Axial view.
FLAIR MR.
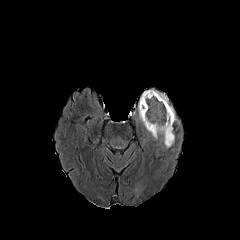
T1-weighted MRI.
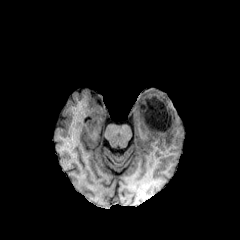
Post-contrast T1-weighted MR.
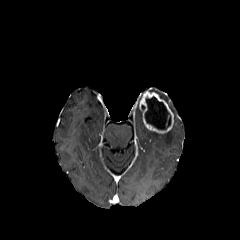
T2-weighted magnetic resonance.
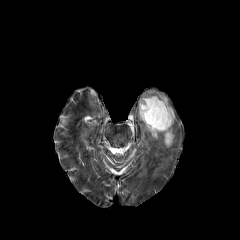
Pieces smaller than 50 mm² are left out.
Segmented structures:
* necrotic tumor core: <box>145,96,171,129</box>
* peritumoral edema: <box>149,89,179,124</box>, <box>162,128,174,148</box>, <box>146,128,158,139</box>
* enhancing tumor: <box>139,90,173,134</box>